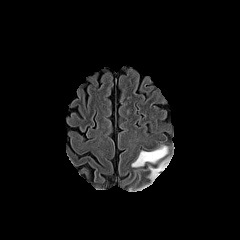
FLAIR MR.
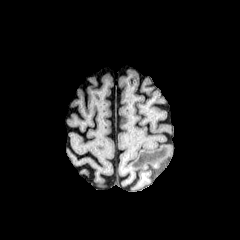
Same slice, T1-weighted magnetic resonance.
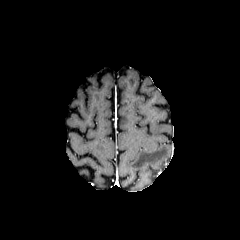
Post-contrast T1-weighted MR image of the same slice.
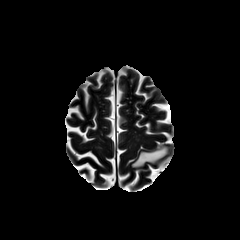
T2-weighted magnetic resonance.
Axial plane
peritumoral edema: 149 157 170 182, 131 145 168 167